Image width 240 mm, 1.00 mm slice spacing
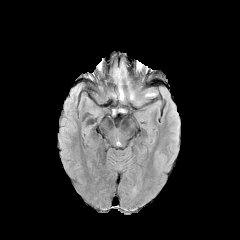
FLAIR MR.
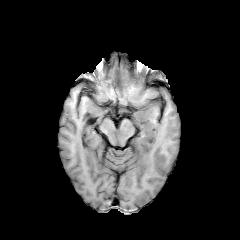
T1-weighted magnetic resonance.
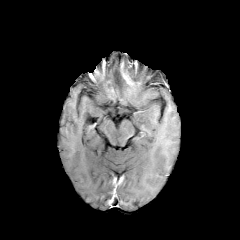
Post-contrast T1-weighted MR.
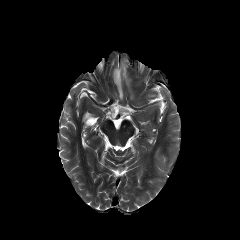
T2-weighted MR image of the same slice.
<segmentation>
  <peritumoral_edema>rect(113, 68, 124, 100); rect(128, 81, 157, 104)</peritumoral_edema>
  <enhancing_tumor>rect(120, 61, 133, 84)</enhancing_tumor>
</segmentation>